FLAIR magnetic resonance.
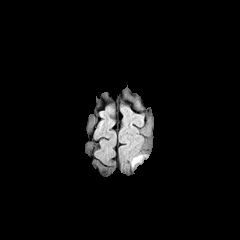
T1-weighted MR image.
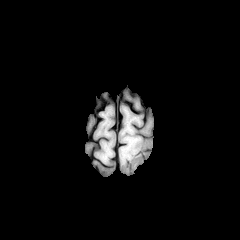
Post-contrast T1-weighted MRI.
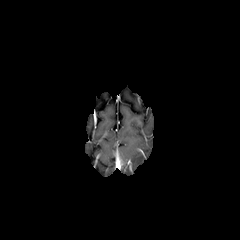
T2-weighted MR image.
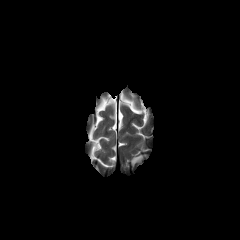
Brain
{
  "peritumoral_edema": [
    "132, 155, 142, 165"
  ]
}